Image width 240 mm, 1.00 mm slice spacing, Brain
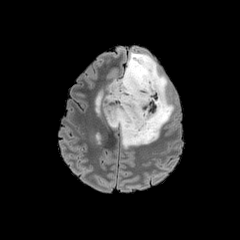
FLAIR magnetic resonance.
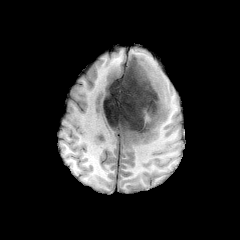
T1-weighted MR image.
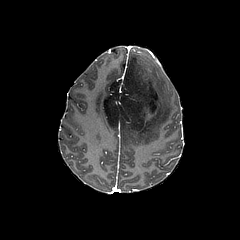
Post-contrast T1-weighted MR of the same slice.
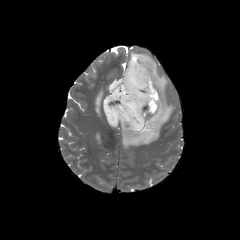
T2-weighted MRI of the same slice.
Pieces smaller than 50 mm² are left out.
necrotic tumor core: 103 56 161 134
peritumoral edema: 120 52 174 148, 95 91 102 115